Brain.
FLAIR MR image.
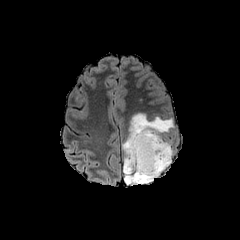
T1-weighted MR image.
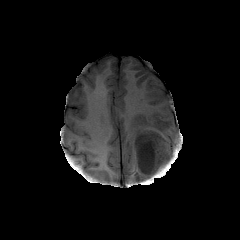
Post-contrast T1-weighted MR.
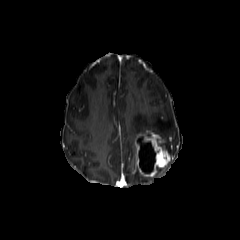
T2-weighted MR.
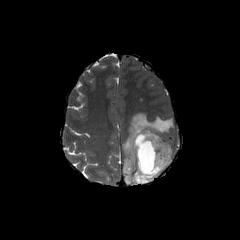
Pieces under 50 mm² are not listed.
peritumoral edema: 122,113,174,185 | enhancing tumor: 134,130,172,178 | necrotic tumor core: 137,136,155,173